FLAIR magnetic resonance.
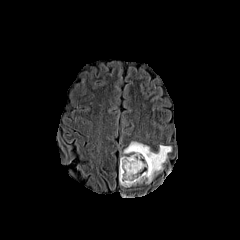
T1-weighted MRI.
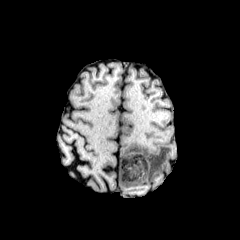
Post-contrast T1-weighted MR image.
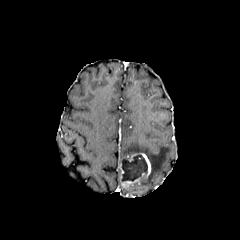
T2-weighted MR.
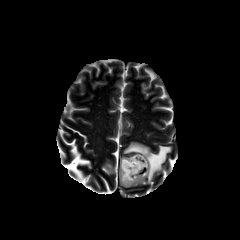
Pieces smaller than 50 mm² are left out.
peritumoral edema: 123:141:171:183 | necrotic tumor core: 121:155:147:181 | enhancing tumor: 119:153:151:187